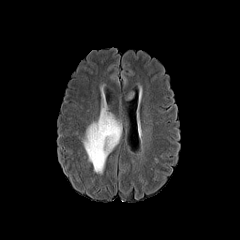
FLAIR magnetic resonance.
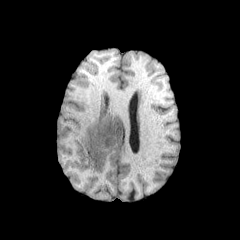
T1-weighted MR image of the same slice.
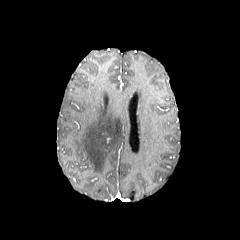
Post-contrast T1-weighted MR.
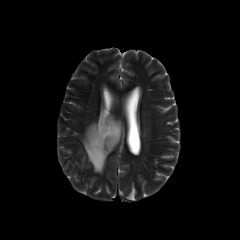
T2-weighted magnetic resonance.
Image size 240x240.
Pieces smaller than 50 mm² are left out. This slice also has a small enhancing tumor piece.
{
  "peritumoral_edema": [
    "bbox(82, 104, 121, 173)"
  ]
}